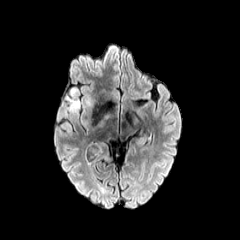
FLAIR MRI.
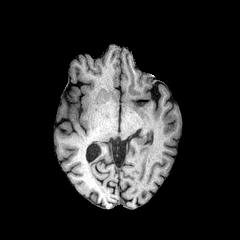
Same slice, T1-weighted magnetic resonance.
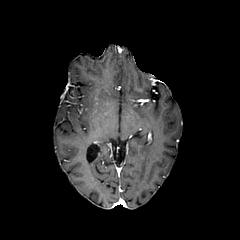
Same slice, post-contrast T1-weighted MR image.
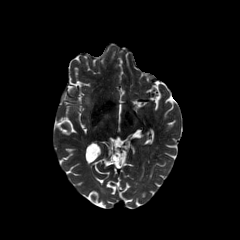
T2-weighted MR image of the same slice.
240x240. Head.
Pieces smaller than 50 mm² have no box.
- peritumoral edema: rect(67, 98, 79, 111)